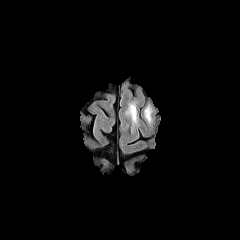
FLAIR MRI.
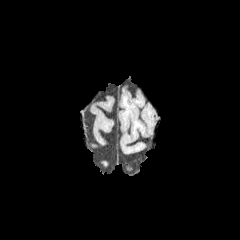
Same slice, T1-weighted MR image.
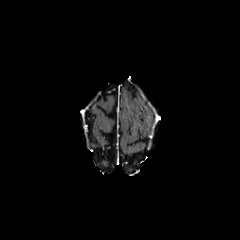
Post-contrast T1-weighted MRI.
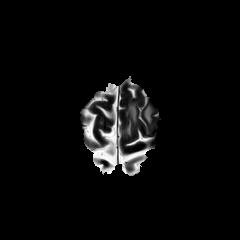
T2-weighted MRI.
240x240, Head
Findings:
* peritumoral edema: region(126, 104, 136, 123); region(144, 107, 151, 122)